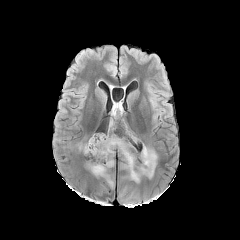
FLAIR MR.
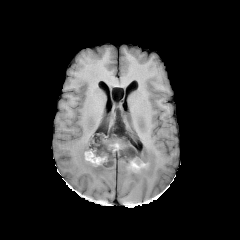
T1-weighted MRI.
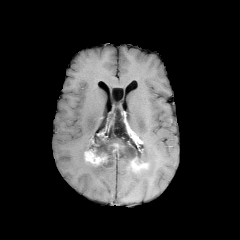
Post-contrast T1-weighted MR of the same slice.
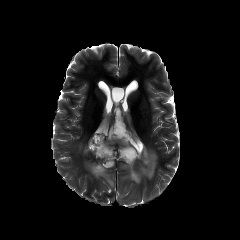
T2-weighted magnetic resonance.
240x240
necrotic_tumor_core:
  - [91,144,102,155]
peritumoral_edema:
  - [79,139,90,152]
  - [86,135,157,187]
enhancing_tumor:
  - [130,158,148,171]
  - [84,149,107,165]